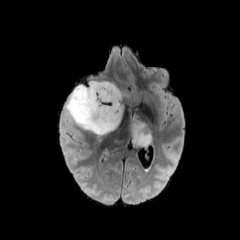
FLAIR magnetic resonance.
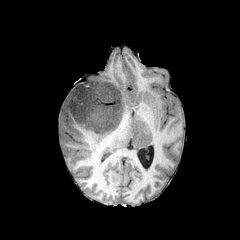
T1-weighted MR.
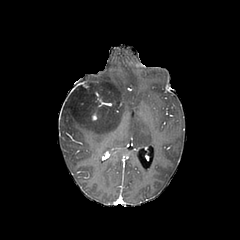
Post-contrast T1-weighted MR image.
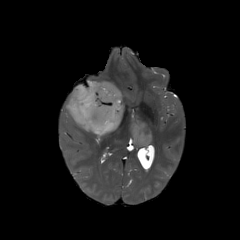
T2-weighted MR image.
Axial plane | Brain
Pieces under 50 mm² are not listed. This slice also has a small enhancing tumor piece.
peritumoral edema at <box>128,116,154,148</box>, <box>66,81,125,142</box>